FLAIR magnetic resonance.
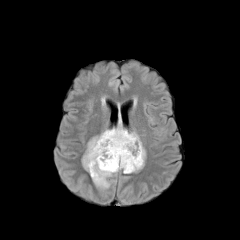
T1-weighted MR.
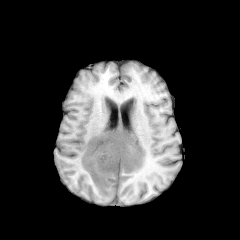
Post-contrast T1-weighted MR image.
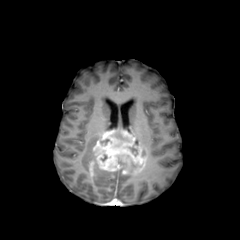
T2-weighted MR image.
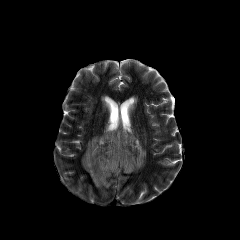
Image size 240x240 | Axial plane
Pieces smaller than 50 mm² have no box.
The 4 largest peritumoral edema regions appear at box=[129, 132, 145, 159]; box=[113, 118, 123, 129]; box=[82, 134, 101, 172]; box=[92, 163, 118, 188]. The enhancing tumor appears at box=[89, 130, 144, 177]. The 2 largest necrotic tumor core regions are located at box=[129, 147, 137, 156]; box=[130, 162, 140, 171].